FLAIR MR.
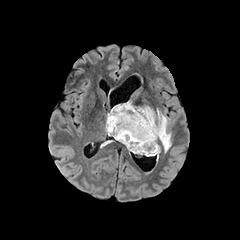
T1-weighted MR image.
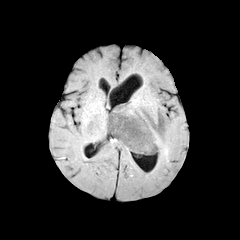
Post-contrast T1-weighted MR image.
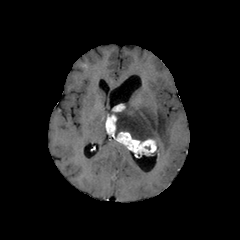
T2-weighted MR image.
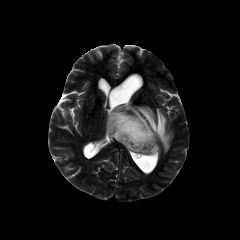
Brain
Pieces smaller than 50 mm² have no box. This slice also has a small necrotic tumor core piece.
peritumoral edema: l=108, t=100, r=171, b=152
enhancing tumor: l=112, t=104, r=125, b=111; l=105, t=114, r=156, b=156